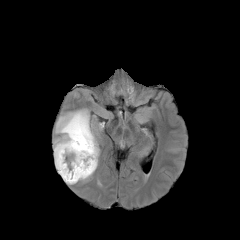
FLAIR MR image.
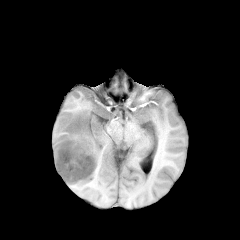
T1-weighted MR of the same slice.
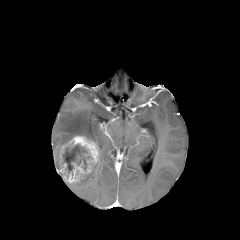
Post-contrast T1-weighted MR of the same slice.
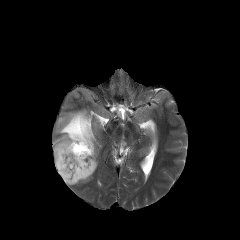
T2-weighted MRI.
Axial view.
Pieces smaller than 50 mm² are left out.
peritumoral edema: (53,109,97,169), (79,157,98,181) | necrotic tumor core: (63,144,87,172) | enhancing tumor: (57,136,98,183)